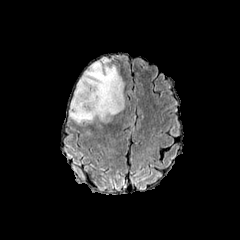
FLAIR MR.
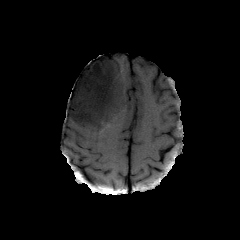
T1-weighted MR.
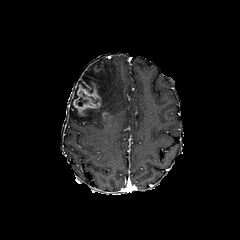
Post-contrast T1-weighted magnetic resonance.
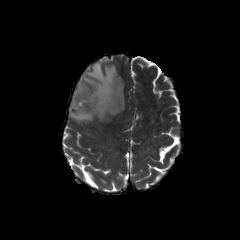
T2-weighted magnetic resonance.
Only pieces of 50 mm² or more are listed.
enhancing tumor — 101,111,110,120; 73,80,101,116
necrotic tumor core — 77,97,87,106
peritumoral edema — 69,58,125,126